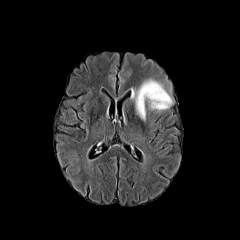
FLAIR magnetic resonance.
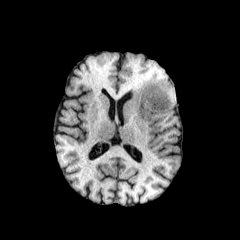
T1-weighted MRI of the same slice.
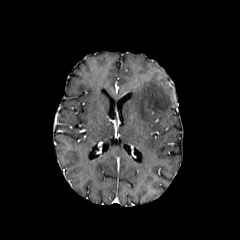
Same slice, post-contrast T1-weighted MR.
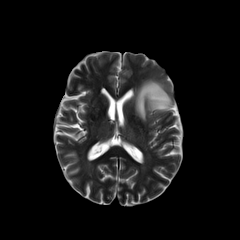
T2-weighted magnetic resonance.
Axial view; Image size 240x240; Head
<segmentation>
  <peritumoral_edema>[x1=135, y1=78, x2=172, y2=120]</peritumoral_edema>
</segmentation>